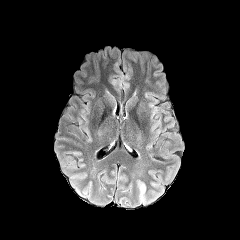
FLAIR magnetic resonance.
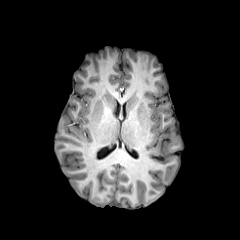
Same slice, T1-weighted magnetic resonance.
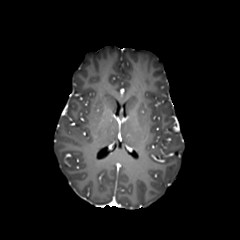
Post-contrast T1-weighted MR.
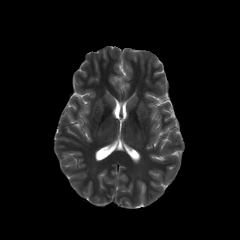
T2-weighted MR image.
Head
peritumoral edema: left=135, top=178, right=147, bottom=204